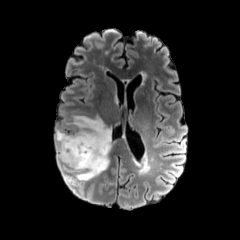
FLAIR MR image.
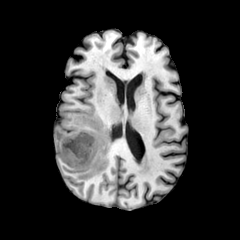
T1-weighted MRI.
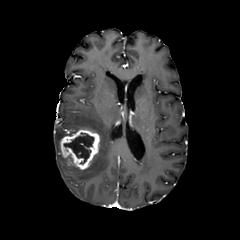
Post-contrast T1-weighted magnetic resonance of the same slice.
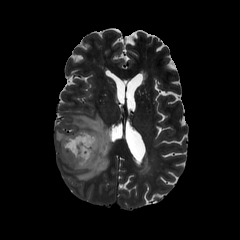
T2-weighted magnetic resonance of the same slice.
240x240.
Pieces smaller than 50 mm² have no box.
{"peritumoral_edema": ["(left=55, top=114, right=111, bottom=180)"], "enhancing_tumor": ["(left=60, top=129, right=100, bottom=169)"], "necrotic_tumor_core": ["(left=64, top=133, right=94, bottom=163)"]}